FLAIR magnetic resonance.
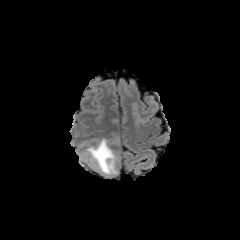
T1-weighted MR image.
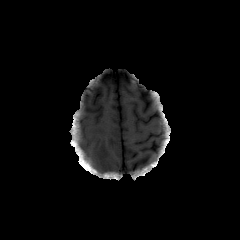
Post-contrast T1-weighted magnetic resonance.
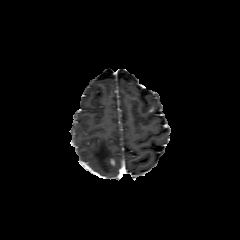
T2-weighted MR image.
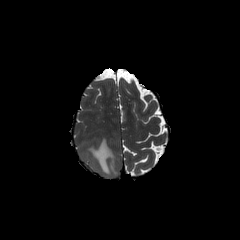
Axial view, Brain
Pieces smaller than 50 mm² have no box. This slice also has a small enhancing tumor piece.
peritumoral_edema:
  - [86, 138, 117, 176]